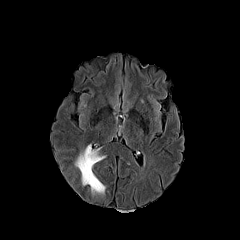
FLAIR magnetic resonance.
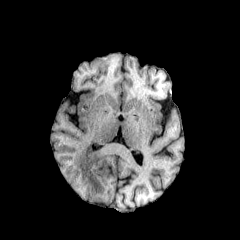
T1-weighted MRI.
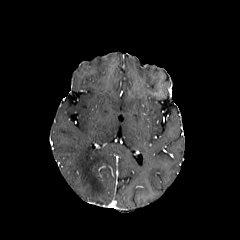
Post-contrast T1-weighted MR of the same slice.
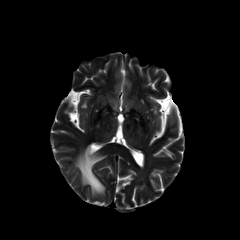
T2-weighted MR image.
peritumoral_edema:
  - bbox=[75, 145, 105, 194]